Slice 41/155 | Axial plane
FLAIR MR.
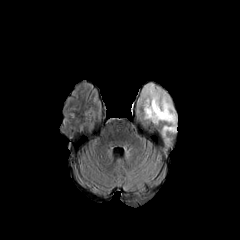
T1-weighted MR image.
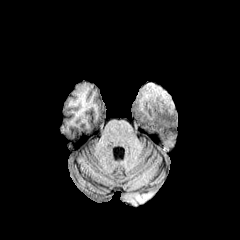
Post-contrast T1-weighted magnetic resonance.
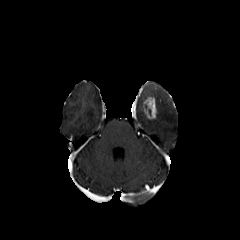
T2-weighted magnetic resonance.
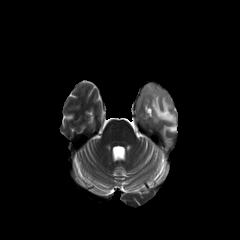
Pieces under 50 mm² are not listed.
The largest peritumoral edema region appears at bbox(139, 84, 176, 143). The enhancing tumor is bounded by bbox(143, 97, 156, 119).